FLAIR MR.
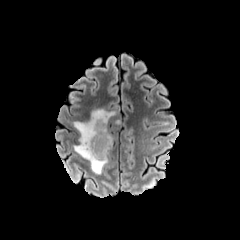
T1-weighted MR image.
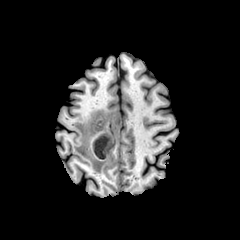
Post-contrast T1-weighted MRI.
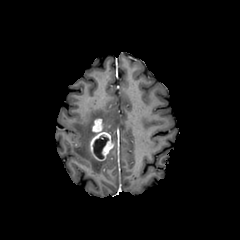
T2-weighted magnetic resonance.
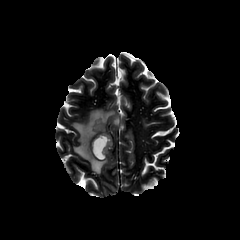
Brain; Axial slice
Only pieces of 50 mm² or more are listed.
Segmented structures:
* enhancing tumor: rect(90, 132, 113, 160); rect(92, 118, 103, 132)
* necrotic tumor core: rect(93, 135, 108, 159)
* peritumoral edema: rect(73, 109, 115, 174)